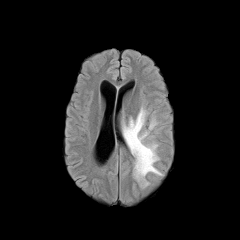
FLAIR MRI.
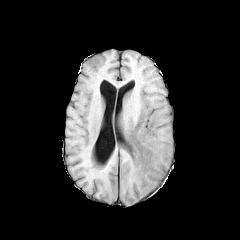
T1-weighted MR image.
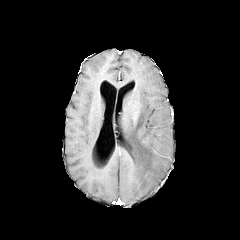
Post-contrast T1-weighted MR of the same slice.
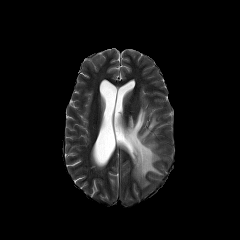
Same slice, T2-weighted MR.
Axial plane, Head
peritumoral_edema:
  - (123,108,162,186)